Slice index 90, Axial slice
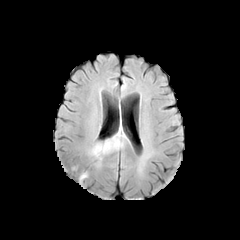
FLAIR MRI.
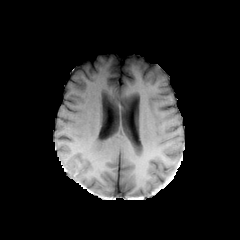
T1-weighted MR image.
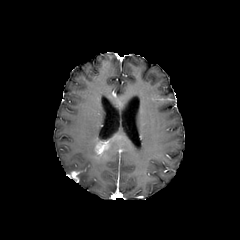
Post-contrast T1-weighted MR of the same slice.
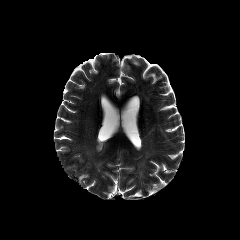
Same slice, T2-weighted MRI.
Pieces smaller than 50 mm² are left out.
2 peritumoral edema regions appear at 91,131,124,158; 79,173,88,181. The largest enhancing tumor region is located at 95,141,110,154.